Image covers 240 mm x 240 mm; Axial view
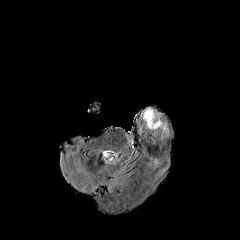
FLAIR MRI.
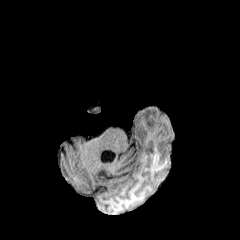
Same slice, T1-weighted MR image.
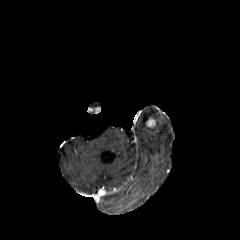
Post-contrast T1-weighted MR.
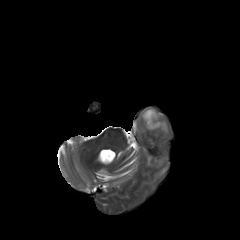
T2-weighted MRI.
Segmented structures:
• peritumoral edema: {"x1": 142, "y1": 108, "x2": 167, "y2": 132}
• enhancing tumor: {"x1": 146, "y1": 118, "x2": 155, "y2": 127}